Slice index 89 | Image width 240 mm, 1.00 mm slice spacing
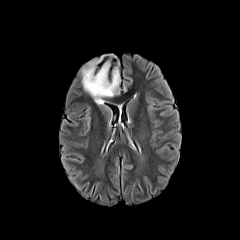
FLAIR magnetic resonance.
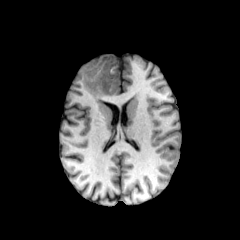
T1-weighted MR of the same slice.
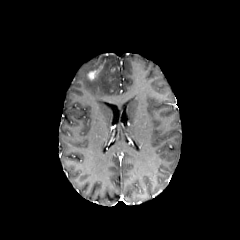
Post-contrast T1-weighted magnetic resonance.
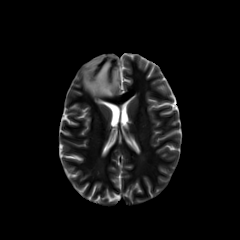
Same slice, T2-weighted MR image.
The enhancing tumor lies within <box>87,70,99,80</box>. The peritumoral edema is bounded by <box>81,55,120,105</box>.